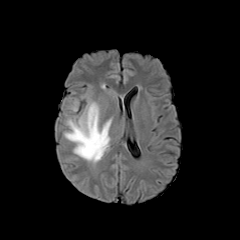
FLAIR MR image.
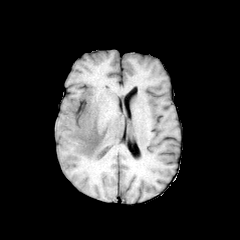
T1-weighted MR image.
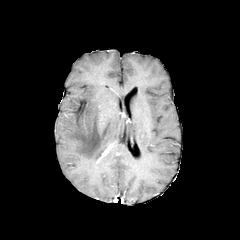
Post-contrast T1-weighted MR image.
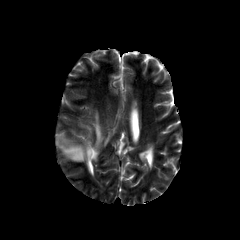
T2-weighted MR image.
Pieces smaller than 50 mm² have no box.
The largest peritumoral edema region appears at (63, 102, 112, 165).